Brain, Slice 99 of 155, 240x240 px
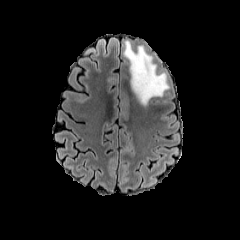
FLAIR MR image.
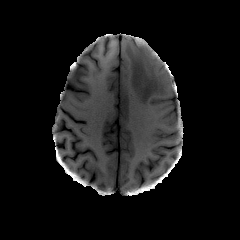
T1-weighted MR of the same slice.
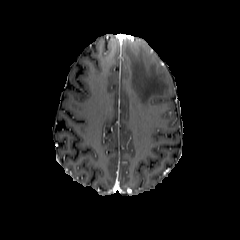
Post-contrast T1-weighted MRI.
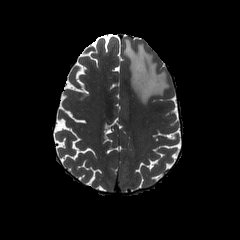
Same slice, T2-weighted MRI.
peritumoral edema: (123, 39, 168, 105)